FLAIR MRI.
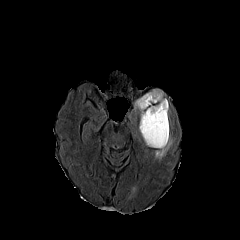
T1-weighted MR image.
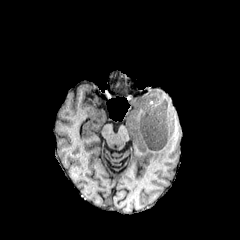
Post-contrast T1-weighted MR image.
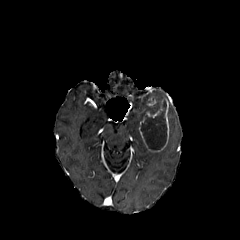
T2-weighted MRI.
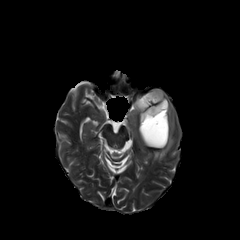
Brain. Axial plane.
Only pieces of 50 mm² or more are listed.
The 2 largest peritumoral edema regions appear at [134,89,166,120], [154,135,172,160]. The necrotic tumor core is bounded by [141,99,166,149]. The 4 largest enhancing tumor regions appear at [145,99,163,117], [147,96,156,105], [139,117,148,147], [153,99,169,151].